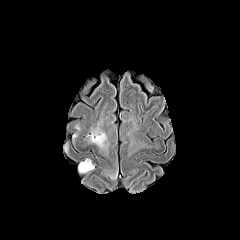
FLAIR MR image.
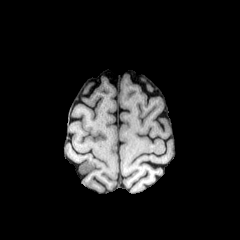
T1-weighted MRI.
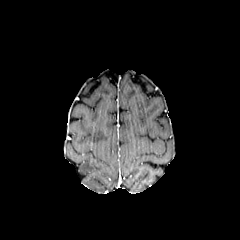
Same slice, post-contrast T1-weighted magnetic resonance.
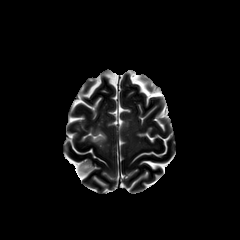
T2-weighted magnetic resonance.
Head
{
  "peritumoral_edema": [
    "79:159:94:172",
    "90:130:106:147"
  ]
}